Slice index 122; Head
FLAIR magnetic resonance.
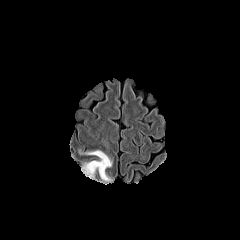
T1-weighted magnetic resonance.
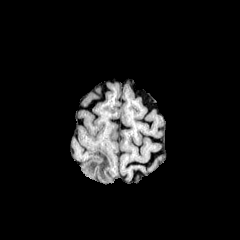
Post-contrast T1-weighted MR.
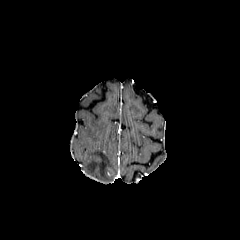
T2-weighted magnetic resonance.
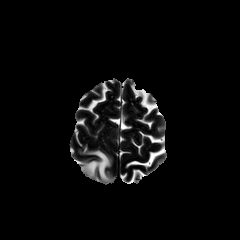
The peritumoral edema is bounded by l=81, t=150, r=111, b=181.